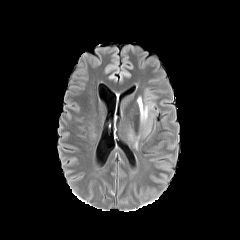
FLAIR magnetic resonance.
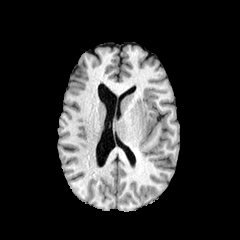
T1-weighted MRI.
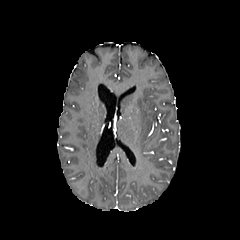
Post-contrast T1-weighted MR.
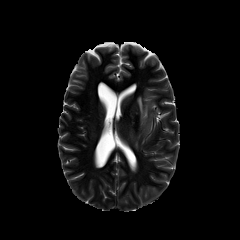
Same slice, T2-weighted MRI.
Brain
peritumoral edema at bbox=[137, 89, 156, 136]; bbox=[127, 127, 140, 149]